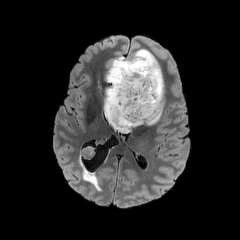
FLAIR MR.
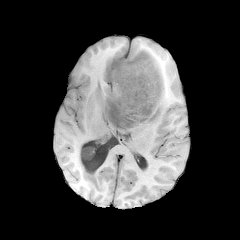
T1-weighted magnetic resonance.
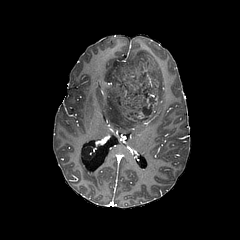
Post-contrast T1-weighted MRI.
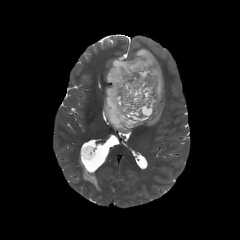
Same slice, T2-weighted magnetic resonance.
Brain; 240x240
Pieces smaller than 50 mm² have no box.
necrotic tumor core = x1=108, y1=54, x2=161, y2=128
peritumoral edema = x1=126, y1=48, x2=163, y2=99; x1=106, y1=56, x2=125, y2=82; x1=103, y1=85, x2=161, y2=133